FLAIR MRI.
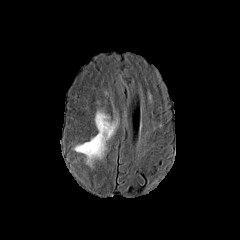
T1-weighted MR.
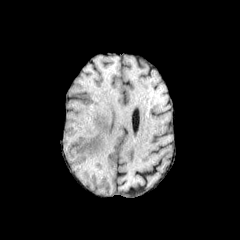
Post-contrast T1-weighted MR image.
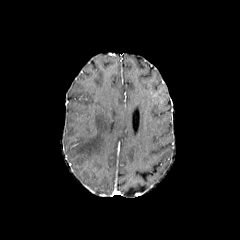
T2-weighted MR image.
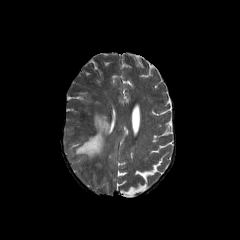
Axial plane
peritumoral edema: bounding box {"x1": 75, "y1": 111, "x2": 112, "y2": 162}